240x240
FLAIR MR image.
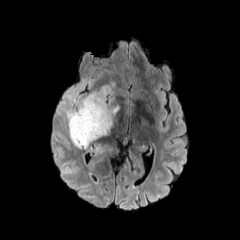
T1-weighted MRI.
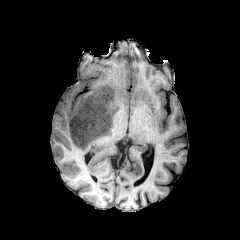
Post-contrast T1-weighted MR.
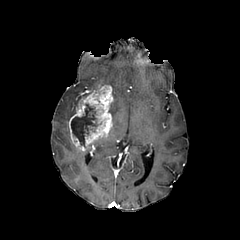
T2-weighted MR image.
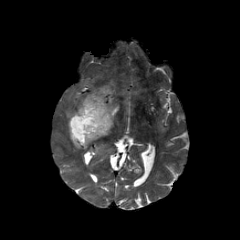
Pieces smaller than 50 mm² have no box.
Annotated regions:
- necrotic tumor core: (x1=71, y1=104, x2=96, y2=146)
- peritumoral edema: (x1=90, y1=141, x2=103, y2=151), (x1=110, y1=103, x2=119, y2=126), (x1=54, y1=79, x2=100, y2=136)
- enhancing tumor: (x1=68, y1=84, x2=113, y2=150)